Head | Slice index 116
FLAIR MRI.
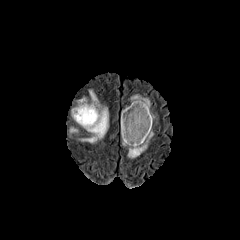
T1-weighted magnetic resonance.
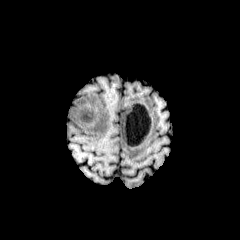
Post-contrast T1-weighted MR.
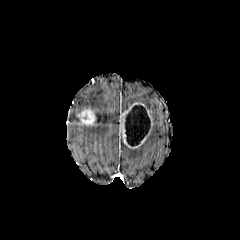
T2-weighted MR image.
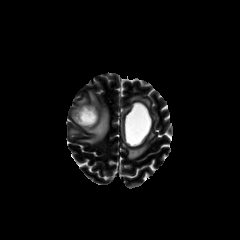
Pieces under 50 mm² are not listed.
The 3 largest peritumoral edema regions are located at box=[72, 90, 108, 143]; box=[128, 131, 153, 158]; box=[130, 95, 150, 109]. The necrotic tumor core is bounded by box=[125, 105, 150, 146]. 2 enhancing tumor regions appear at box=[76, 107, 96, 126]; box=[120, 102, 152, 148].